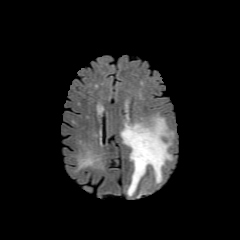
FLAIR MRI.
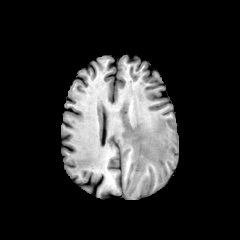
T1-weighted MR image.
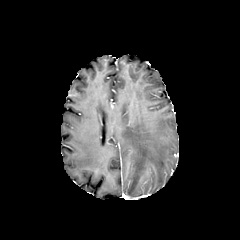
Post-contrast T1-weighted magnetic resonance.
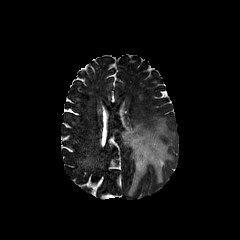
T2-weighted MR image of the same slice.
Brain
peritumoral edema: bounding box (left=121, top=116, right=172, bottom=196)